Slice 112/155.
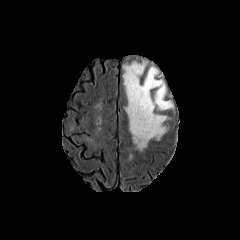
FLAIR MR image.
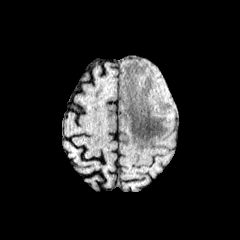
T1-weighted magnetic resonance.
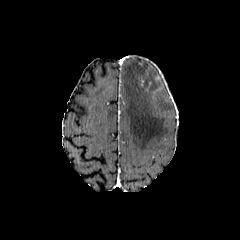
Post-contrast T1-weighted magnetic resonance.
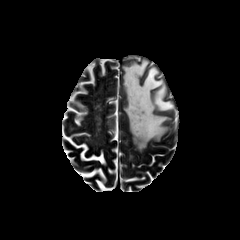
T2-weighted magnetic resonance of the same slice.
The peritumoral edema is located at region(123, 60, 173, 150).